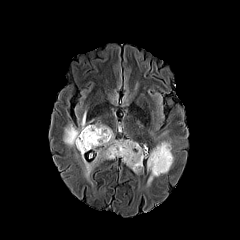
FLAIR MR image.
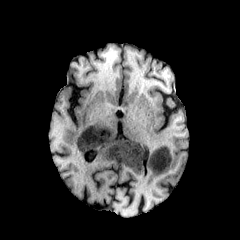
T1-weighted MR of the same slice.
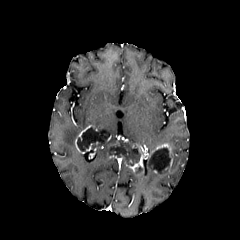
Post-contrast T1-weighted MR image.
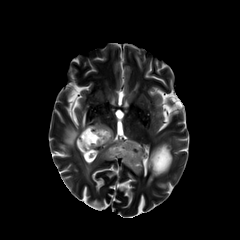
T2-weighted MR.
240x240
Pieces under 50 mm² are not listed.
necrotic_tumor_core:
  - (x1=108, y1=141, x2=140, y2=165)
  - (x1=149, y1=147, x2=170, y2=173)
  - (x1=77, y1=127, x2=110, y2=151)
peritumoral_edema:
  - (x1=63, y1=112, x2=86, y2=146)
  - (x1=81, y1=122, x2=119, y2=179)
  - (x1=147, y1=160, x2=160, y2=185)
enhancing_tumor:
  - (x1=124, y1=143, x2=172, y2=171)
  - (x1=75, y1=125, x2=97, y2=153)